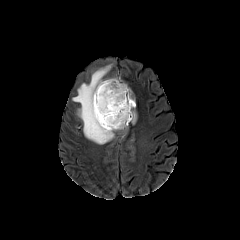
FLAIR MR.
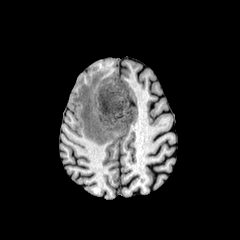
T1-weighted MR of the same slice.
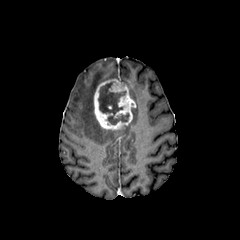
Same slice, post-contrast T1-weighted MRI.
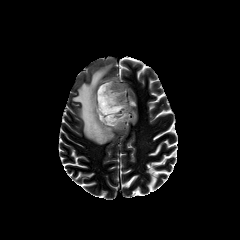
Same slice, T2-weighted MR.
Axial plane
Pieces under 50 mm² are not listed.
enhancing tumor: box=[94, 78, 135, 130] | peritumoral edema: box=[131, 109, 136, 123]; box=[72, 65, 114, 144] | necrotic tumor core: box=[98, 82, 129, 124]